Brain.
FLAIR MR.
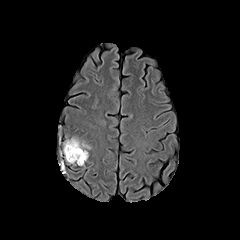
T1-weighted MR.
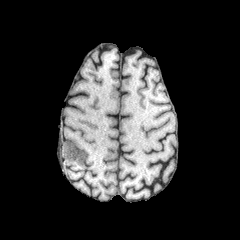
Post-contrast T1-weighted MRI.
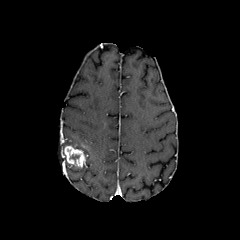
T2-weighted MRI.
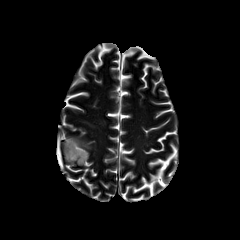
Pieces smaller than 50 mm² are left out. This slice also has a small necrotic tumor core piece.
The enhancing tumor appears at 64,144,87,166. The largest peritumoral edema region is located at 64,137,90,156.